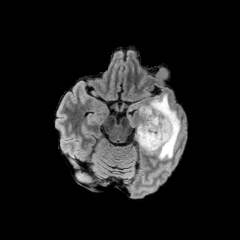
FLAIR MRI.
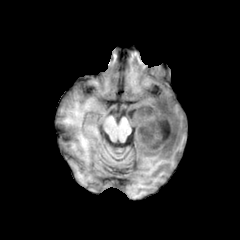
T1-weighted MR of the same slice.
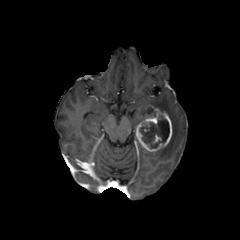
Post-contrast T1-weighted MRI.
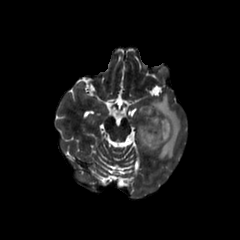
T2-weighted magnetic resonance of the same slice.
Brain.
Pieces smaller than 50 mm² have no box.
enhancing tumor = box(152, 134, 161, 143); box(135, 105, 172, 151)
necrotic tumor core = box(140, 116, 169, 148)
peritumoral edema = box(140, 94, 182, 159)